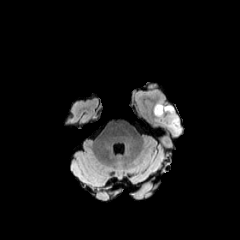
FLAIR magnetic resonance.
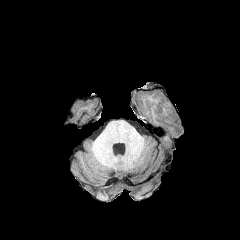
T1-weighted MRI of the same slice.
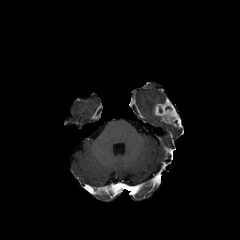
Post-contrast T1-weighted magnetic resonance.
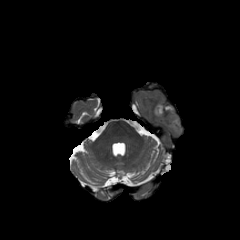
T2-weighted magnetic resonance of the same slice.
Axial view
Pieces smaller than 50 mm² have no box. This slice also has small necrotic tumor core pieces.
Segmented structures:
- enhancing tumor: region(153, 102, 182, 128)
- peritumoral edema: region(163, 123, 182, 134)